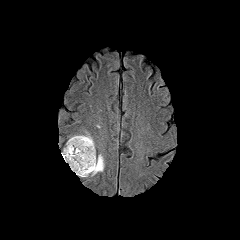
FLAIR magnetic resonance.
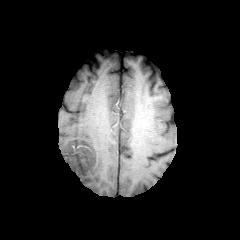
T1-weighted magnetic resonance of the same slice.
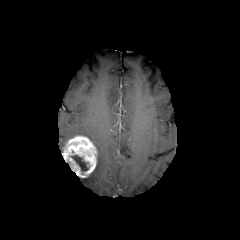
Post-contrast T1-weighted MR image of the same slice.
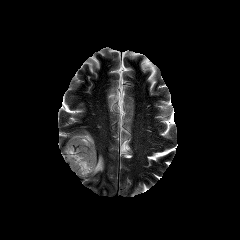
Same slice, T2-weighted MRI.
The enhancing tumor appears at 62:136:96:177. 2 peritumoral edema regions appear at 70:131:94:144, 91:154:104:175. The necrotic tumor core lies within 71:155:88:171.